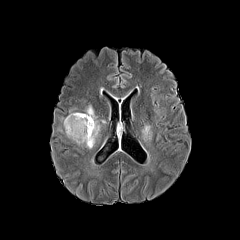
FLAIR MR.
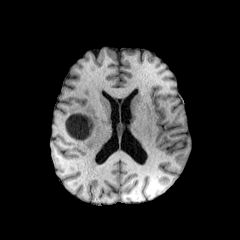
T1-weighted MR image.
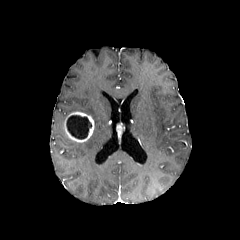
Post-contrast T1-weighted MRI.
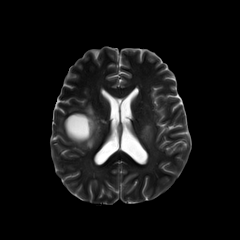
T2-weighted MR.
Brain; Axial slice
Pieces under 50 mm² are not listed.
<segmentation>
  <enhancing_tumor>left=64, top=112, right=94, bottom=142</enhancing_tumor>
  <peritumoral_edema>left=142, top=125, right=152, bottom=141; left=84, top=105, right=100, bottom=148</peritumoral_edema>
  <necrotic_tumor_core>left=66, top=115, right=91, bottom=139</necrotic_tumor_core>
</segmentation>